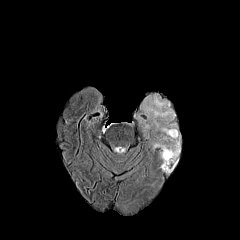
FLAIR MR.
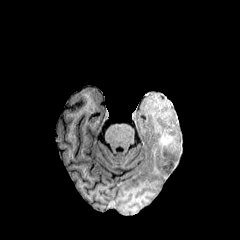
T1-weighted MR of the same slice.
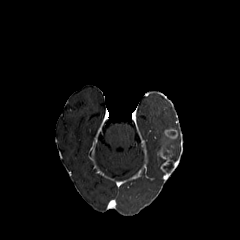
Same slice, post-contrast T1-weighted MRI.
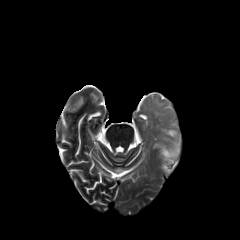
T2-weighted MR image of the same slice.
Axial slice, Head, Image size 240x240
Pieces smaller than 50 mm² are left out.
The 3 largest peritumoral edema regions are located at 153 132 180 159, 146 96 177 130, 155 121 167 132. The largest necrotic tumor core region is at 163 161 173 172. 2 enhancing tumor regions are bounded by 165 128 177 138, 158 147 178 174.